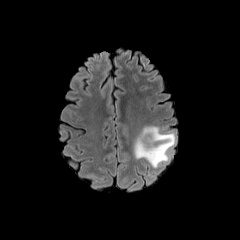
FLAIR MR image.
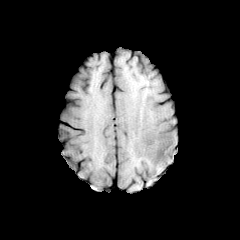
T1-weighted MR image of the same slice.
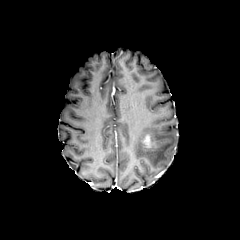
Post-contrast T1-weighted MRI of the same slice.
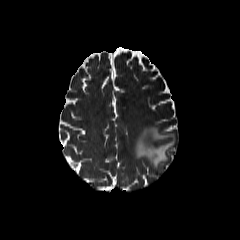
Same slice, T2-weighted magnetic resonance.
The enhancing tumor appears at [x1=143, y1=135, x2=151, y2=147]. The peritumoral edema appears at [x1=133, y1=126, x2=175, y2=168].